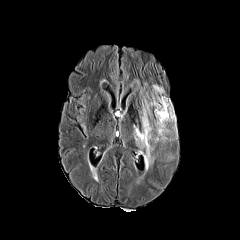
FLAIR MRI.
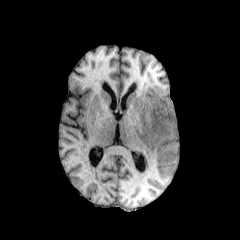
T1-weighted MR of the same slice.
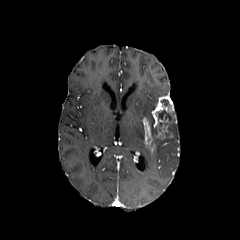
Post-contrast T1-weighted MR.
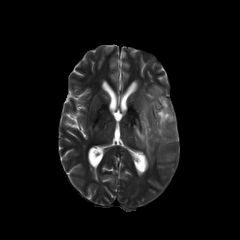
T2-weighted MR image of the same slice.
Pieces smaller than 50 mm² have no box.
Annotated regions:
- enhancing tumor: left=142, top=117, right=155, bottom=152; left=151, top=96, right=176, bottom=139
- peritumoral edema: left=133, top=122, right=154, bottom=164; left=141, top=85, right=177, bottom=143
- necrotic tumor core: left=158, top=110, right=174, bottom=122